Brain. Axial view. Image width 240 mm.
FLAIR MR.
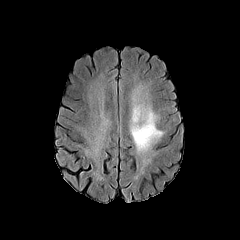
T1-weighted MR.
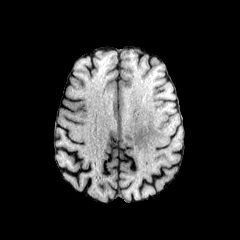
Post-contrast T1-weighted magnetic resonance.
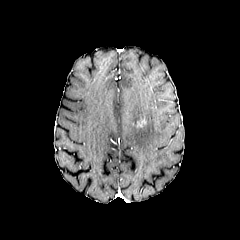
T2-weighted MR.
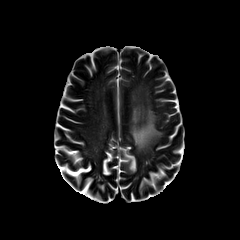
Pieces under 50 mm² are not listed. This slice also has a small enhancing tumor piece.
peritumoral edema: bounding box box=[130, 90, 163, 152]